Slice 56/155, 240x240
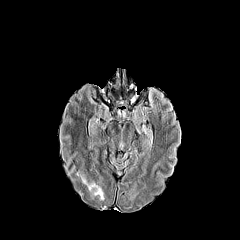
FLAIR MRI.
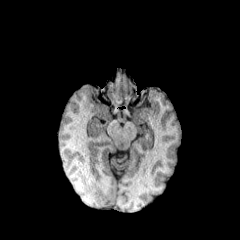
Same slice, T1-weighted MRI.
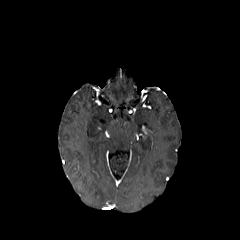
Same slice, post-contrast T1-weighted MR image.
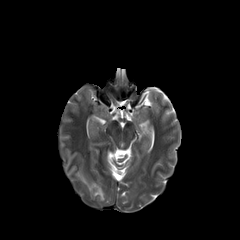
Same slice, T2-weighted MR.
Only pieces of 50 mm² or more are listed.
Annotated regions:
* peritumoral edema: <bbox>88, 183, 103, 199</bbox>